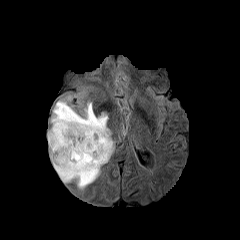
FLAIR MR image.
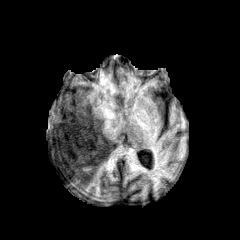
T1-weighted MR.
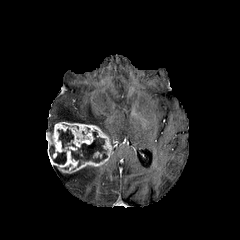
Post-contrast T1-weighted MR.
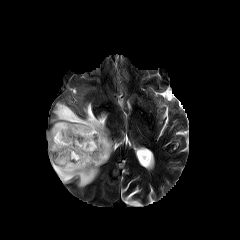
T2-weighted MR image of the same slice.
Axial view | 240x240 px | Brain
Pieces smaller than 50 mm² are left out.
peritumoral edema = (54, 166, 100, 189), (49, 96, 113, 142)
enhancing tumor = (46, 122, 113, 173)
necrotic tumor core = (58, 129, 75, 148), (71, 131, 107, 166), (53, 152, 66, 164)